FLAIR MRI.
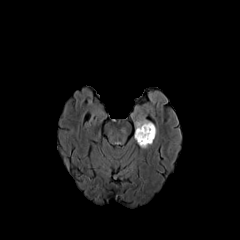
T1-weighted MR.
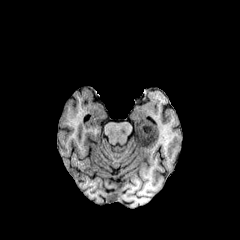
Post-contrast T1-weighted MRI.
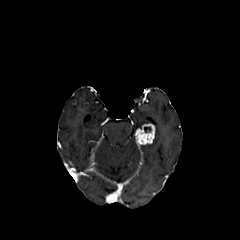
T2-weighted magnetic resonance.
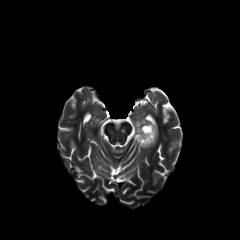
Axial slice
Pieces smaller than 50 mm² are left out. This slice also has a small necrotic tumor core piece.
peritumoral edema: [135, 116, 150, 129]
enhancing tumor: [134, 123, 155, 145]